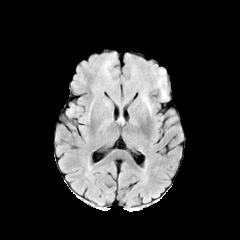
FLAIR MR.
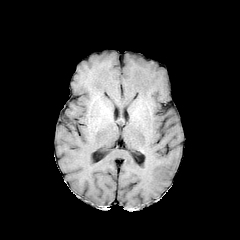
T1-weighted MR image.
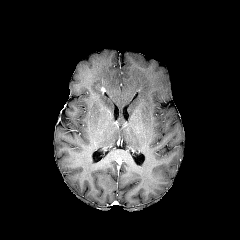
Post-contrast T1-weighted MR.
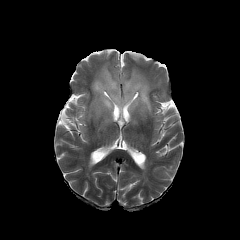
T2-weighted MR of the same slice.
240x240 | Axial slice
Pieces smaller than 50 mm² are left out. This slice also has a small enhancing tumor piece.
2 peritumoral edema regions are located at box(92, 59, 166, 113); box(102, 98, 111, 109).